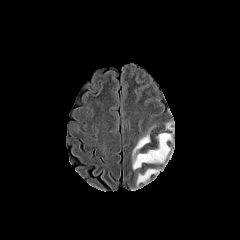
FLAIR MR.
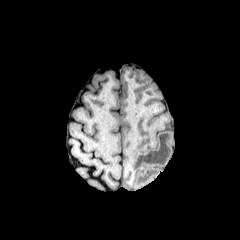
Same slice, T1-weighted MRI.
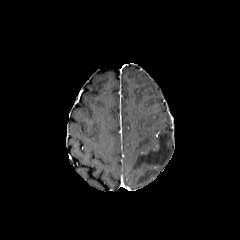
Post-contrast T1-weighted MR image of the same slice.
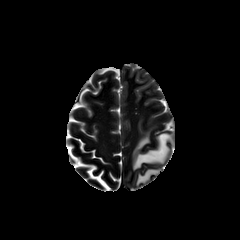
T2-weighted MRI.
Axial view
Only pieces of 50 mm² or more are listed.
<segmentation>
  <peritumoral_edema>(left=136, top=169, right=160, bottom=185), (left=132, top=133, right=172, bottom=170)</peritumoral_edema>
</segmentation>